Slice 63/155
FLAIR MR image.
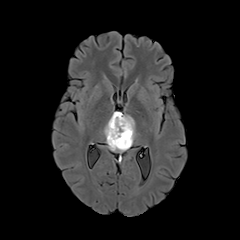
T1-weighted MR image.
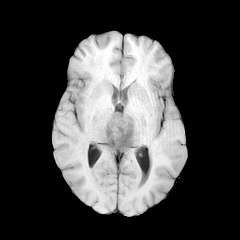
Post-contrast T1-weighted MR.
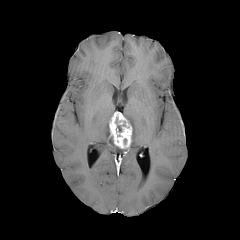
T2-weighted MR image.
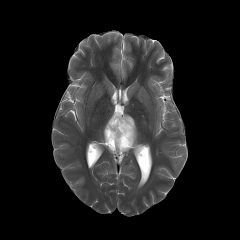
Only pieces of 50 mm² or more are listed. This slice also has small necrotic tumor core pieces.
<segmentation>
  <enhancing_tumor>(left=109, top=111, right=132, bottom=148)</enhancing_tumor>
  <peritumoral_edema>(left=103, top=118, right=110, bottom=143), (left=107, top=144, right=129, bottom=152), (left=123, top=114, right=136, bottom=145)</peritumoral_edema>
</segmentation>